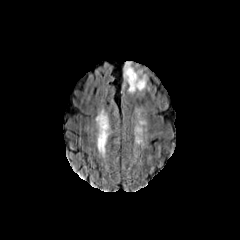
FLAIR MRI.
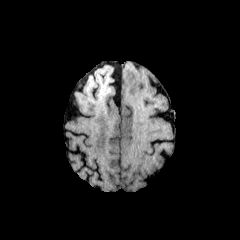
T1-weighted MR.
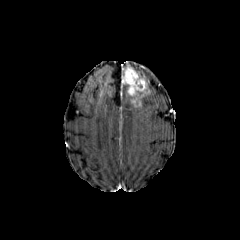
Same slice, post-contrast T1-weighted MR image.
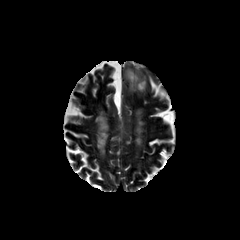
Same slice, T2-weighted MR.
Brain, Axial plane
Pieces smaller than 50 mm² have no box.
enhancing_tumor:
  - [x1=123, y1=66, x2=146, y2=95]
peritumoral_edema:
  - [x1=127, y1=70, x2=149, y2=106]